FLAIR MR.
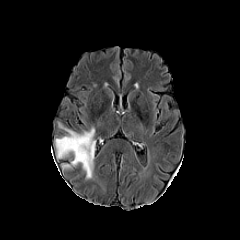
T1-weighted magnetic resonance.
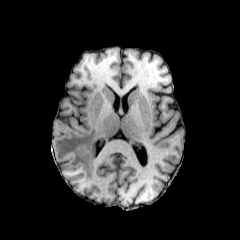
Post-contrast T1-weighted MR image.
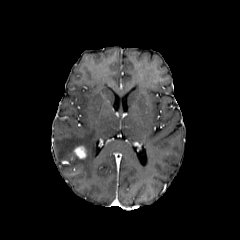
T2-weighted magnetic resonance.
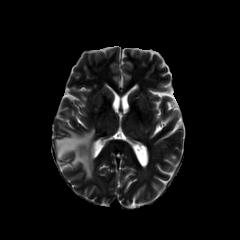
Image size 240x240; Brain
Annotated regions:
• peritumoral edema: (left=55, top=123, right=95, bottom=179)
• enhancing tumor: (left=74, top=146, right=86, bottom=158)